FLAIR MRI.
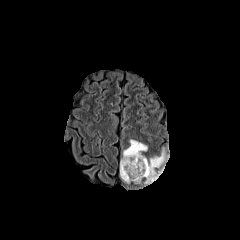
T1-weighted magnetic resonance.
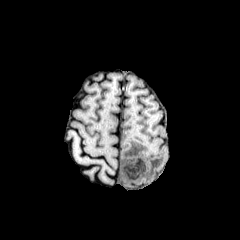
Post-contrast T1-weighted MR image.
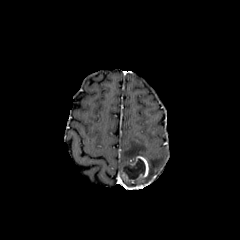
T2-weighted magnetic resonance.
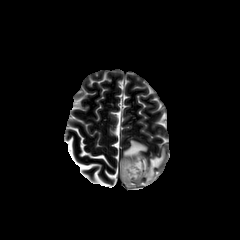
Brain
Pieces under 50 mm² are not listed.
{"peritumoral_edema": ["x1=120, y1=139, x2=147, y2=169", "x1=145, y1=148, x2=166, y2=182"], "enhancing_tumor": ["x1=120, y1=156, x2=149, y2=183"], "necrotic_tumor_core": ["x1=123, y1=159, x2=145, y2=179"]}